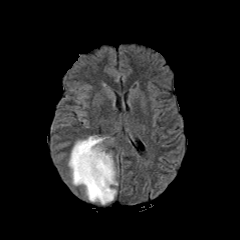
FLAIR MR.
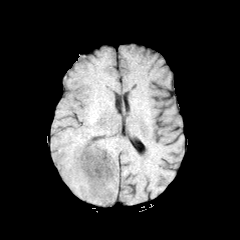
T1-weighted MR image of the same slice.
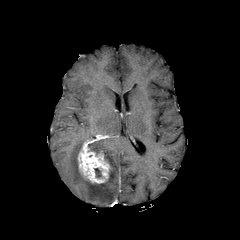
Same slice, post-contrast T1-weighted MRI.
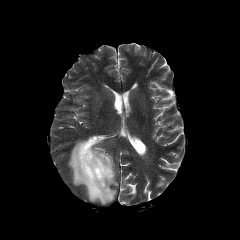
T2-weighted magnetic resonance.
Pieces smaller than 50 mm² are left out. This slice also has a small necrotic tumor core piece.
enhancing tumor: [77, 135, 111, 183]
peritumoral edema: [68, 136, 117, 204]